FLAIR magnetic resonance.
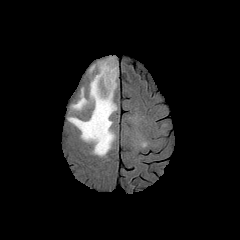
T1-weighted MR image.
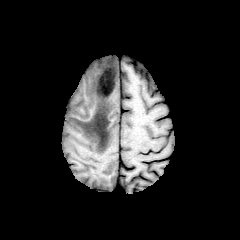
Post-contrast T1-weighted magnetic resonance.
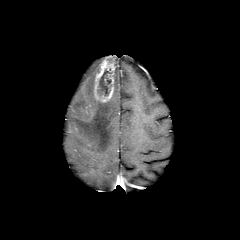
T2-weighted MR image.
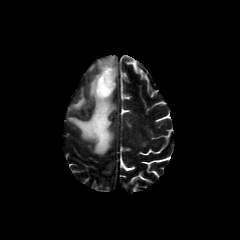
240x240 px.
The enhancing tumor is at bbox(93, 55, 116, 102). 2 peritumoral edema regions are bounded by bbox(115, 62, 118, 89); bbox(68, 61, 117, 156). The necrotic tumor core is at bbox(98, 70, 111, 95).